FLAIR magnetic resonance.
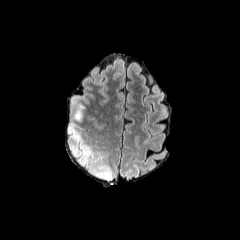
T1-weighted magnetic resonance.
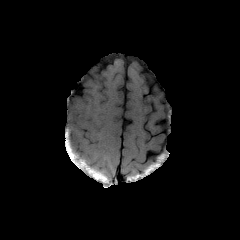
Post-contrast T1-weighted magnetic resonance.
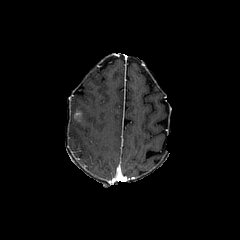
T2-weighted magnetic resonance.
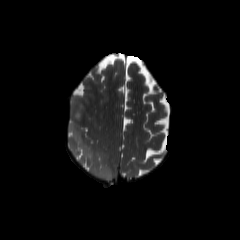
Axial plane | Head
enhancing_tumor:
  - 74:111:81:121
peritumoral_edema:
  - 68:123:112:180
  - 75:103:84:119